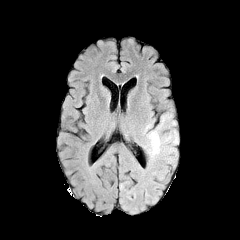
FLAIR magnetic resonance.
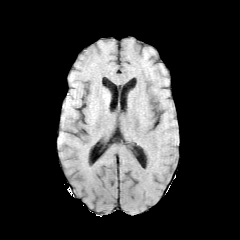
T1-weighted magnetic resonance of the same slice.
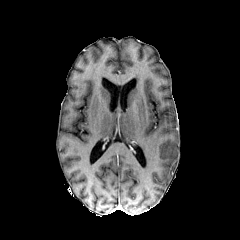
Post-contrast T1-weighted magnetic resonance.
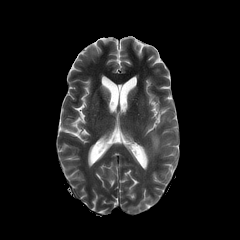
T2-weighted MR.
Axial plane; Brain; 240x240
* peritumoral edema: (149,131,160,156)